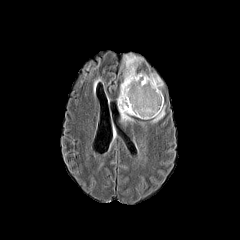
FLAIR MRI.
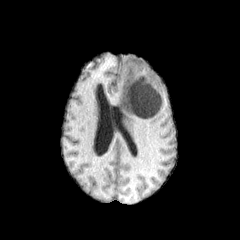
T1-weighted magnetic resonance of the same slice.
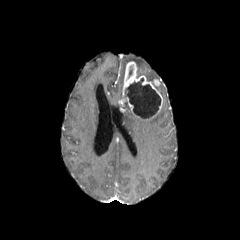
Post-contrast T1-weighted MR of the same slice.
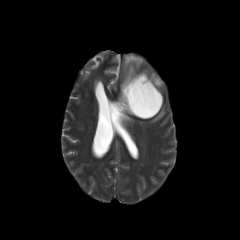
T2-weighted MR.
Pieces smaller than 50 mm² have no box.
necrotic tumor core at box(125, 78, 161, 118)
enhancing tumor at box(118, 61, 163, 118)
peritumoral edema at box(151, 105, 164, 122); box(121, 108, 133, 121); box(138, 72, 159, 81); box(123, 55, 142, 67); box(117, 82, 123, 100)